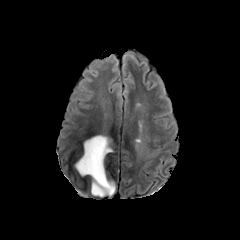
FLAIR MRI.
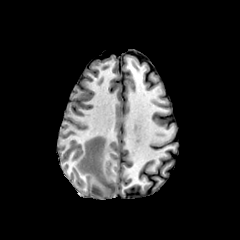
T1-weighted MR image of the same slice.
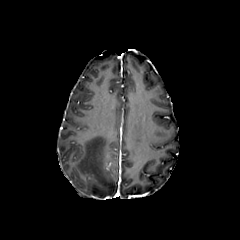
Same slice, post-contrast T1-weighted magnetic resonance.
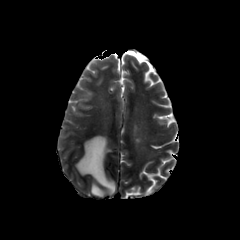
T2-weighted magnetic resonance.
<segmentation>
  <peritumoral_edema><box>75,135,115,197</box></peritumoral_edema>
</segmentation>